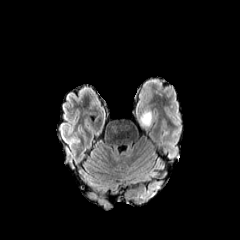
FLAIR magnetic resonance.
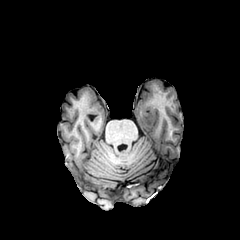
Same slice, T1-weighted MR.
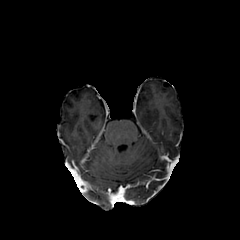
Post-contrast T1-weighted MR image.
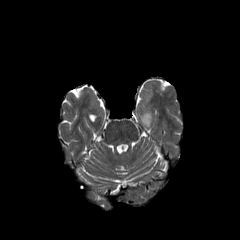
Same slice, T2-weighted MRI.
Image size 240x240; Axial view
<segmentation>
  <peritumoral_edema>l=139, t=112, r=152, b=128</peritumoral_edema>
</segmentation>